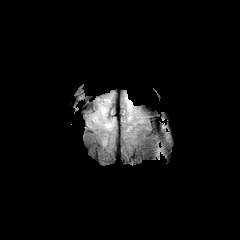
FLAIR MR image.
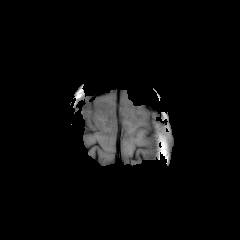
T1-weighted MR image.
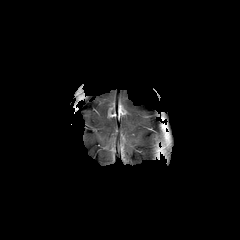
Post-contrast T1-weighted magnetic resonance.
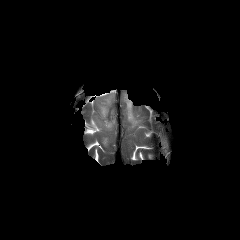
T2-weighted MR image of the same slice.
Brain.
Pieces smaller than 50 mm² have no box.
peritumoral edema: left=104, top=121, right=113, bottom=129; left=100, top=106, right=107, bottom=117; left=126, top=97, right=133, bottom=121